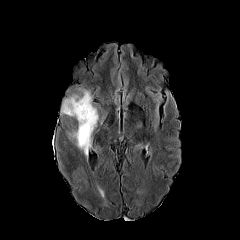
FLAIR MR.
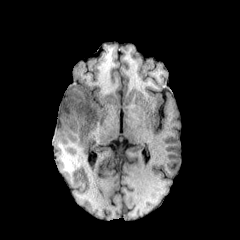
T1-weighted MR.
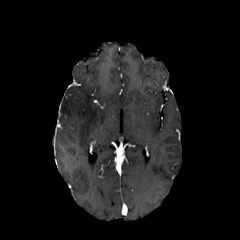
Post-contrast T1-weighted magnetic resonance.
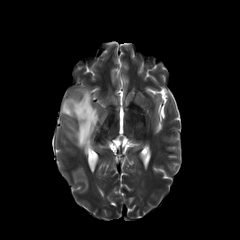
Same slice, T2-weighted MRI.
peritumoral edema: bounding box 61,89,98,155